FLAIR MR.
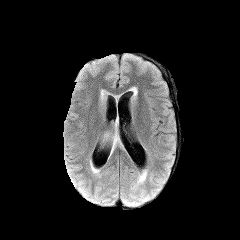
T1-weighted magnetic resonance.
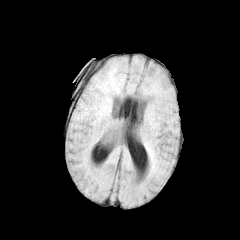
Post-contrast T1-weighted MR image.
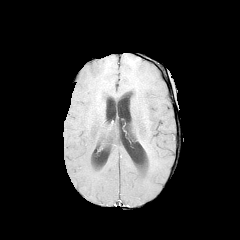
T2-weighted MRI.
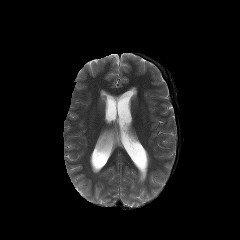
Image size 240x240 | Axial plane
<segmentation>
  <peritumoral_edema>left=103, top=122, right=122, bottom=155</peritumoral_edema>
</segmentation>